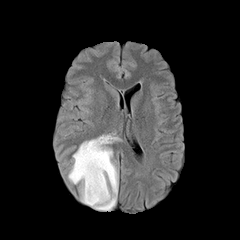
FLAIR MRI.
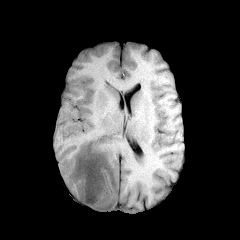
T1-weighted magnetic resonance.
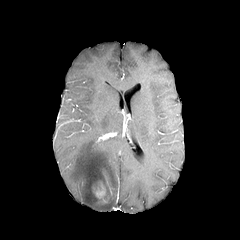
Post-contrast T1-weighted magnetic resonance.
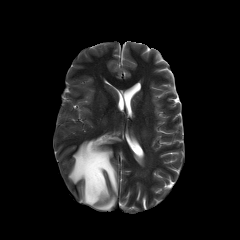
T2-weighted MRI.
Image size 240x240
Annotated regions:
• peritumoral edema: [68,137,119,210]
• enhancing tumor: [93,182,106,202]